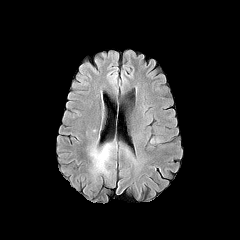
FLAIR magnetic resonance.
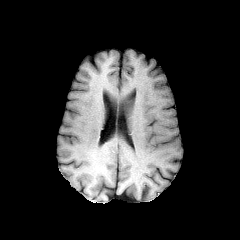
T1-weighted MRI of the same slice.
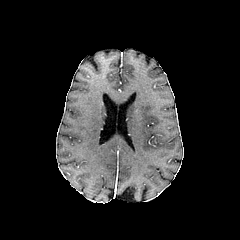
Post-contrast T1-weighted MR image of the same slice.
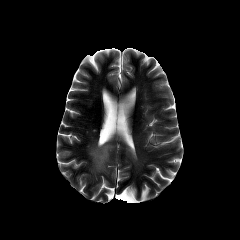
Same slice, T2-weighted magnetic resonance.
Brain, Axial plane
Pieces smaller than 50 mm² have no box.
Annotated regions:
• peritumoral edema: x1=92 y1=146 x2=109 y2=172